Axial view | Slice 62/155
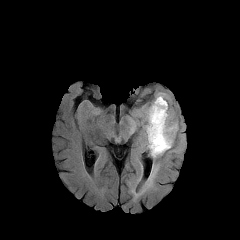
FLAIR MR.
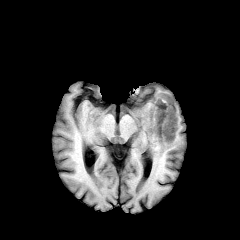
T1-weighted MRI.
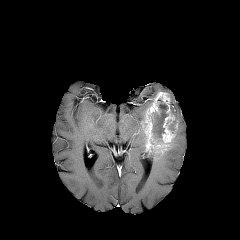
Post-contrast T1-weighted MRI.
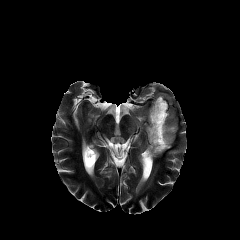
T2-weighted MR.
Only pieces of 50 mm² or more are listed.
<segmentation>
  <enhancing_tumor>[x1=144, y1=92, x2=177, y2=155]</enhancing_tumor>
  <peritumoral_edema>[x1=130, y1=121, x2=136, y2=132], [x1=137, y1=105, x2=162, y2=190]</peritumoral_edema>
  <necrotic_tumor_core>[x1=152, y1=99, x2=168, y2=143]</necrotic_tumor_core>
</segmentation>